Image covers 240 mm x 240 mm
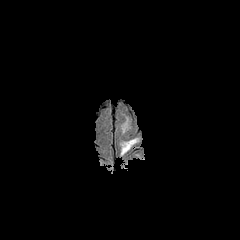
FLAIR MR image.
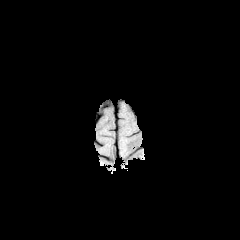
T1-weighted MRI.
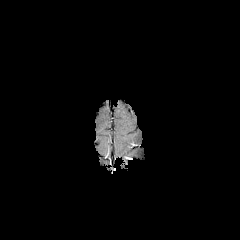
Same slice, post-contrast T1-weighted magnetic resonance.
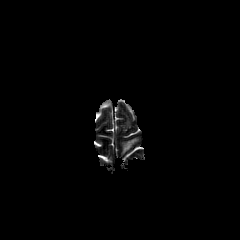
T2-weighted magnetic resonance of the same slice.
peritumoral edema: bounding box x1=121, y1=116, x2=130, y2=134; x1=120, y1=138, x2=139, y2=154